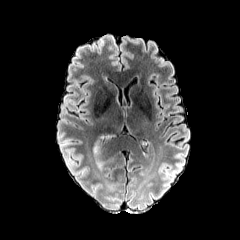
FLAIR MR.
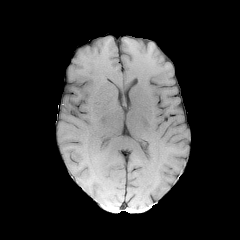
T1-weighted MR.
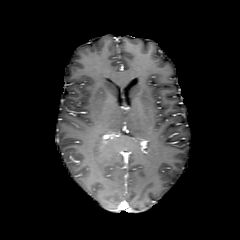
Post-contrast T1-weighted magnetic resonance.
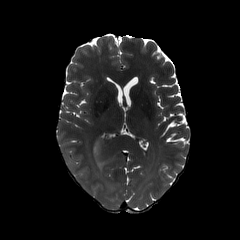
T2-weighted magnetic resonance of the same slice.
Head. 240x240.
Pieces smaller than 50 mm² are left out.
<segmentation>
  <peritumoral_edema>region(93, 142, 99, 157)</peritumoral_edema>
</segmentation>